FLAIR MR image.
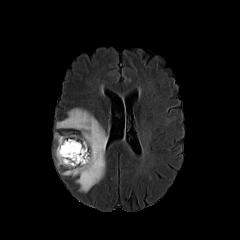
T1-weighted MR image.
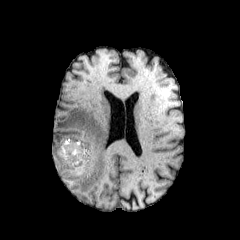
Post-contrast T1-weighted MRI.
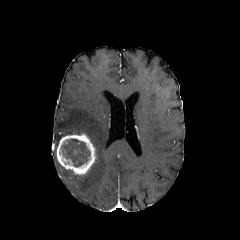
T2-weighted MR image.
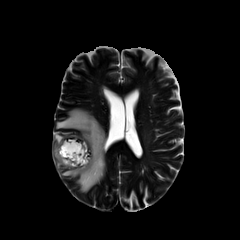
Brain, Axial plane
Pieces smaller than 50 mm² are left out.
The enhancing tumor is located at 56 133 96 175. The 2 largest peritumoral edema regions are bounded by 55 133 62 146, 56 108 107 192. The necrotic tumor core appears at 61 139 89 166.